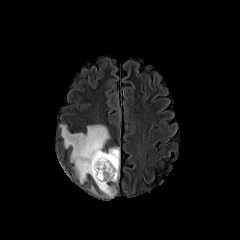
FLAIR MR image.
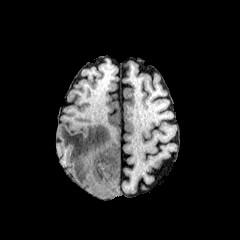
T1-weighted magnetic resonance.
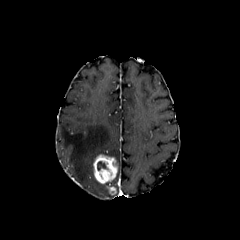
Post-contrast T1-weighted magnetic resonance.
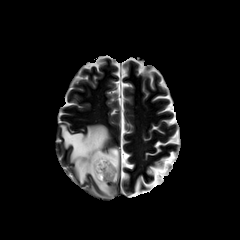
T2-weighted MR.
Brain
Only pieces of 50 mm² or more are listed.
necrotic tumor core: bounding box 97:161:106:170
peritumoral edema: bounding box 60:124:119:197
enhancing tumor: bounding box 107:186:116:195, 93:154:118:183